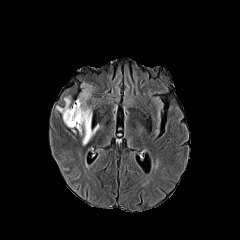
FLAIR MR image.
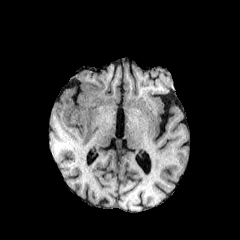
T1-weighted MR image.
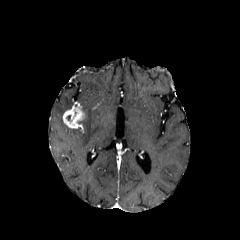
Post-contrast T1-weighted magnetic resonance of the same slice.
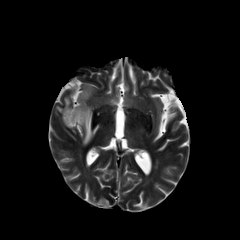
T2-weighted MRI.
Brain; 240x240
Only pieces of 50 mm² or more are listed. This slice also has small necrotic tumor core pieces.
enhancing tumor — {"x1": 63, "y1": 102, "x2": 85, "y2": 128}
peritumoral edema — {"x1": 56, "y1": 97, "x2": 70, "y2": 115}, {"x1": 76, "y1": 83, "x2": 99, "y2": 144}